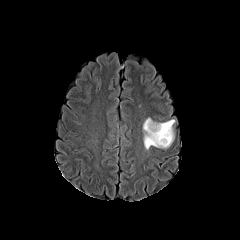
FLAIR MRI.
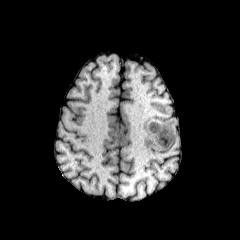
T1-weighted magnetic resonance.
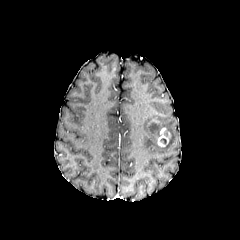
Post-contrast T1-weighted MRI.
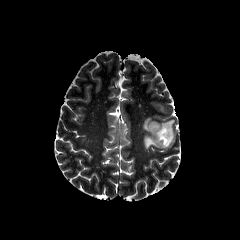
Same slice, T2-weighted magnetic resonance.
240x240. Axial plane.
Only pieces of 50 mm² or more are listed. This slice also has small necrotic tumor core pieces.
peritumoral_edema:
  - 143,118,175,149
enhancing_tumor:
  - 157,127,170,146